FLAIR MRI.
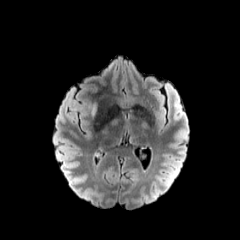
T1-weighted MR.
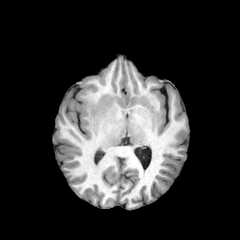
Post-contrast T1-weighted magnetic resonance.
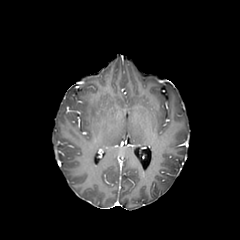
T2-weighted MR.
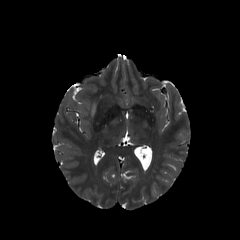
Image size 240x240 | Head | Axial slice
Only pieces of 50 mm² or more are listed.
{"peritumoral_edema": ["rect(91, 103, 97, 117)"]}